FLAIR MR.
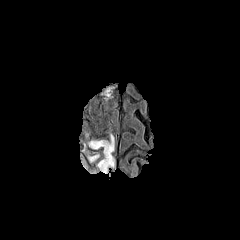
T1-weighted MR image.
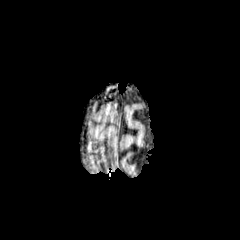
Post-contrast T1-weighted MR image.
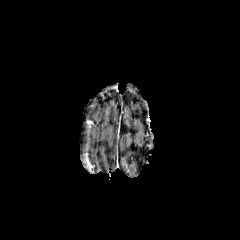
T2-weighted MRI.
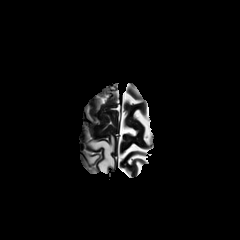
Head. Axial view.
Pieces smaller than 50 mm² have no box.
The 2 largest peritumoral edema regions appear at 89, 134, 115, 173; 88, 153, 99, 161.